FLAIR MR image.
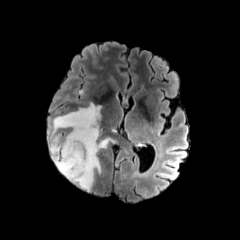
T1-weighted MR image.
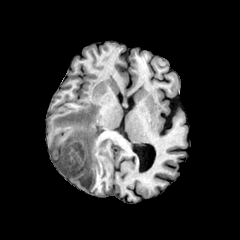
Post-contrast T1-weighted MR.
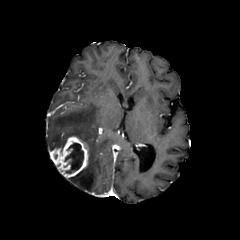
T2-weighted MR image.
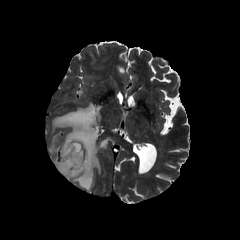
Axial view; Head; 240x240
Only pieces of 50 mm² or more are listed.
peritumoral edema: [x1=50, y1=103, x2=110, y2=190] | necrotic tumor core: [x1=65, y1=143, x2=83, y2=173] | enhancing tumor: [x1=50, y1=136, x2=88, y2=178]